FLAIR magnetic resonance.
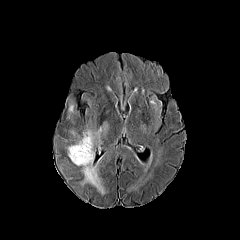
T1-weighted MR.
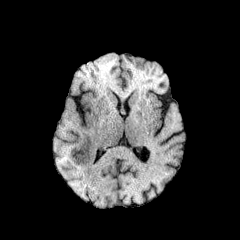
Post-contrast T1-weighted magnetic resonance.
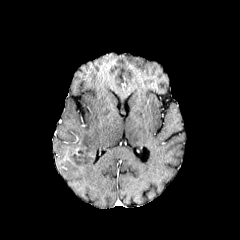
T2-weighted MR image.
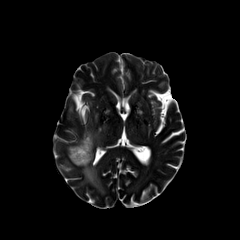
Axial slice, 240x240 px
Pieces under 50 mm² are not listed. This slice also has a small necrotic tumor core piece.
enhancing tumor at l=72, t=147, r=92, b=157
peritumoral edema at l=68, t=127, r=104, b=194